Head. Slice 111 of 155. Axial plane.
FLAIR MR.
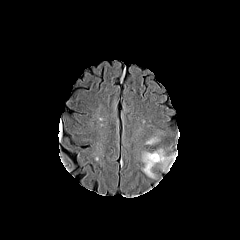
T1-weighted magnetic resonance.
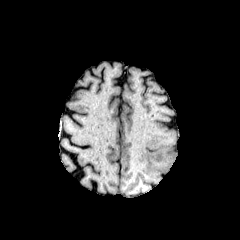
Post-contrast T1-weighted MR image.
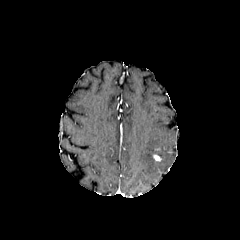
T2-weighted magnetic resonance.
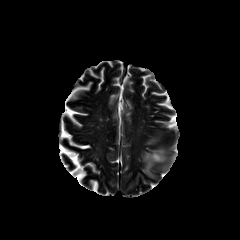
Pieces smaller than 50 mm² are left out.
<segmentation>
  <enhancing_tumor>153,154,161,161</enhancing_tumor>
  <peritumoral_edema>142,149,175,177</peritumoral_edema>
</segmentation>